FLAIR MR.
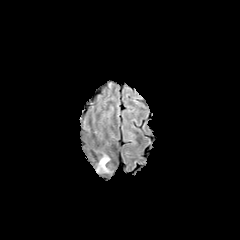
T1-weighted magnetic resonance.
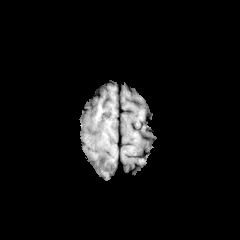
Post-contrast T1-weighted MR.
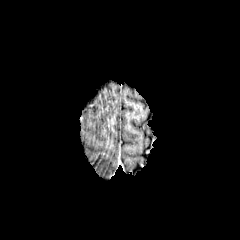
T2-weighted magnetic resonance.
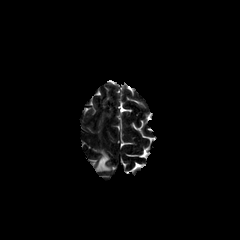
Segmented structures:
* peritumoral edema: bbox=[96, 154, 109, 172]